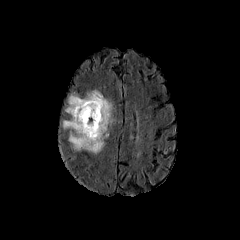
FLAIR magnetic resonance.
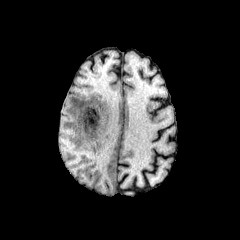
T1-weighted MRI of the same slice.
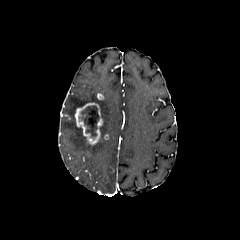
Post-contrast T1-weighted MR image of the same slice.
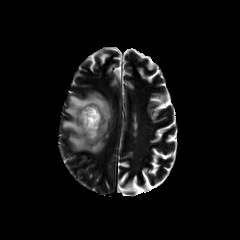
T2-weighted MR of the same slice.
Brain.
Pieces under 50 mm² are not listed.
The largest enhancing tumor region lies within 75 102 103 145. The peritumoral edema lies within 63 90 112 153. The necrotic tumor core is bounded by 81 106 99 136.